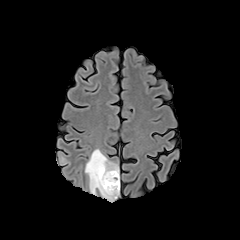
FLAIR MR image.
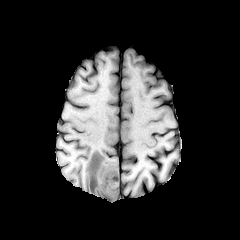
T1-weighted magnetic resonance.
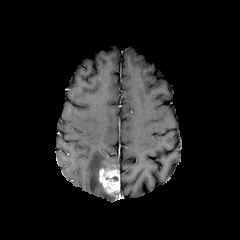
Post-contrast T1-weighted magnetic resonance.
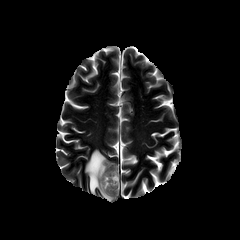
T2-weighted MR image.
Brain.
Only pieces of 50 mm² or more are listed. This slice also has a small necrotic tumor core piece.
Findings:
- enhancing tumor: x1=99 y1=165 x2=117 y2=196
- peritumoral edema: x1=85 y1=149 x2=117 y2=199